Brain; Slice 101/155
FLAIR magnetic resonance.
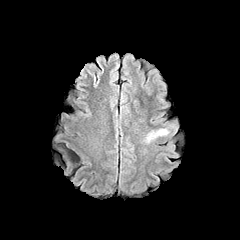
T1-weighted magnetic resonance.
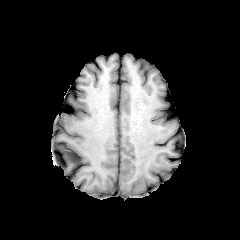
Post-contrast T1-weighted MR.
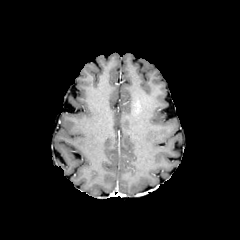
T2-weighted MR.
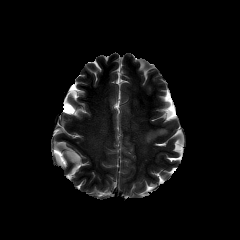
peritumoral edema: bounding box 145, 129, 166, 142